FLAIR magnetic resonance.
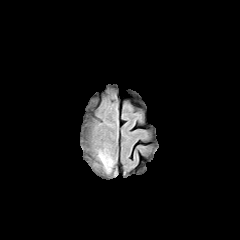
T1-weighted magnetic resonance.
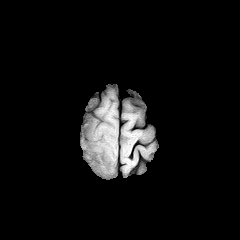
Post-contrast T1-weighted magnetic resonance.
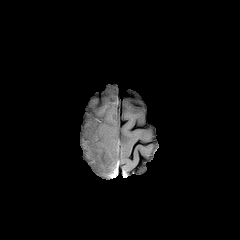
T2-weighted MR image.
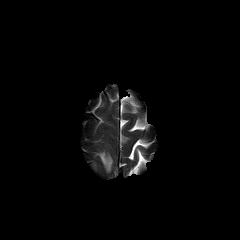
Image size 240x240. Head.
<segmentation>
  <peritumoral_edema>(x1=100, y1=154, x2=112, y2=168)</peritumoral_edema>
</segmentation>